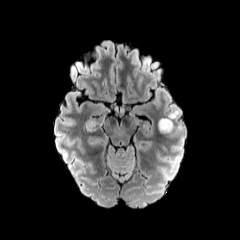
FLAIR magnetic resonance.
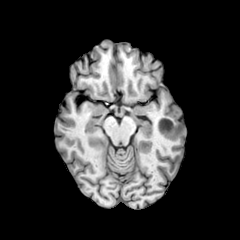
T1-weighted MR image.
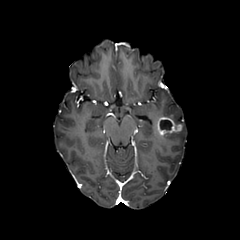
Post-contrast T1-weighted MR image of the same slice.
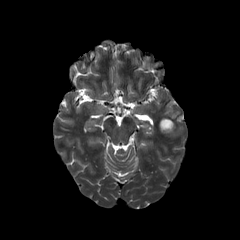
Same slice, T2-weighted MR.
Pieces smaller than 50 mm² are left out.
enhancing tumor — box=[157, 117, 182, 135]
necrotic tumor core — box=[160, 120, 172, 129]
peritumoral edema — box=[168, 111, 179, 119]